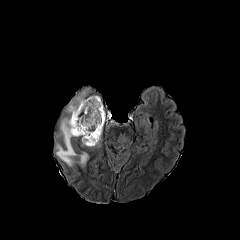
FLAIR MRI.
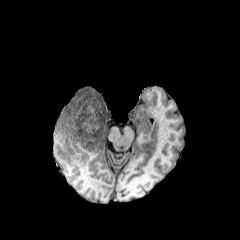
T1-weighted magnetic resonance of the same slice.
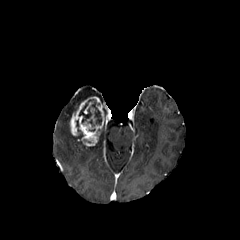
Post-contrast T1-weighted MRI.
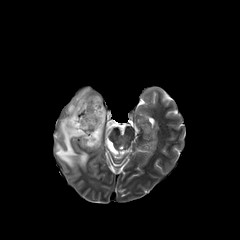
T2-weighted magnetic resonance of the same slice.
Brain
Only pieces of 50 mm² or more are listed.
<segmentation>
  <peritumoral_edema>55 88 90 167</peritumoral_edema>
  <necrotic_tumor_core>79 99 101 124</necrotic_tumor_core>
  <enhancing_tumor>69 96 104 146</enhancing_tumor>
</segmentation>